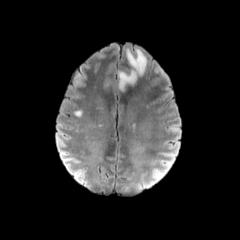
FLAIR MR image.
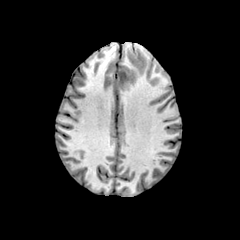
T1-weighted MR.
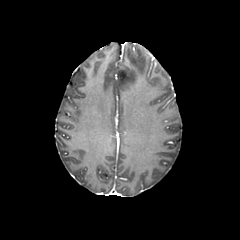
Post-contrast T1-weighted magnetic resonance.
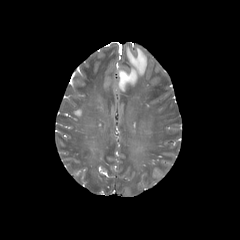
T2-weighted MR of the same slice.
240x240 px. Axial slice. Head.
{"peritumoral_edema": ["[118,48,146,90]"]}